FLAIR magnetic resonance.
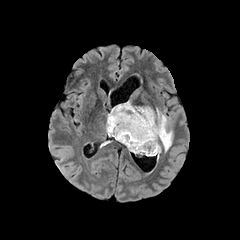
T1-weighted MR image.
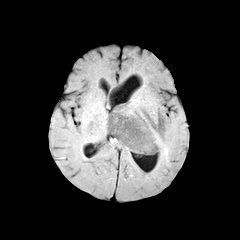
Post-contrast T1-weighted magnetic resonance.
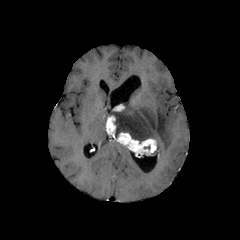
T2-weighted magnetic resonance.
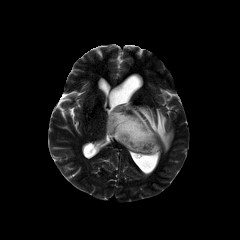
Axial plane | Head
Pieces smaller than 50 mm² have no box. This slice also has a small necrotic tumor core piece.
- enhancing tumor: left=106, top=115, right=156, bottom=156; left=112, top=104, right=124, bottom=111
- peritumoral edema: left=107, top=100, right=173, bottom=155